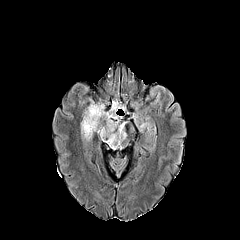
FLAIR MR image.
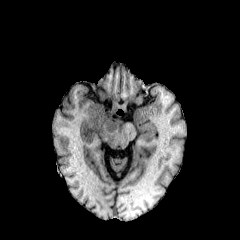
T1-weighted MR image of the same slice.
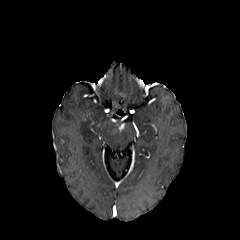
Post-contrast T1-weighted MR.
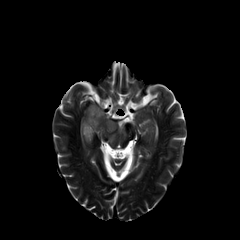
T2-weighted MR image of the same slice.
Brain.
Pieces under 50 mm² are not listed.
peritumoral edema: bounding box [x1=81, y1=102, x2=126, y2=148]